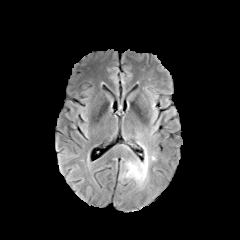
FLAIR magnetic resonance.
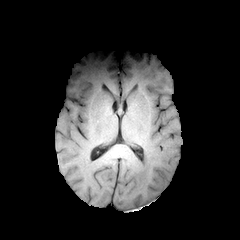
Same slice, T1-weighted MR image.
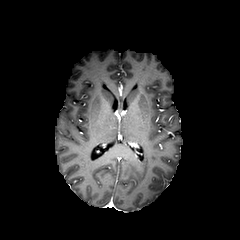
Post-contrast T1-weighted MRI.
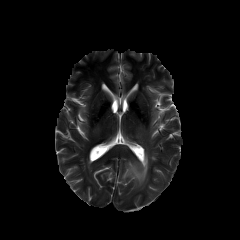
T2-weighted MR image of the same slice.
Head, Image size 240x240
peritumoral edema: 122 150 150 186